Brain; Slice 117 of 155
FLAIR MRI.
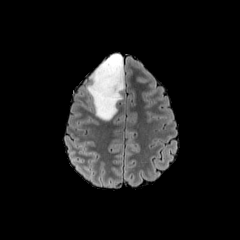
T1-weighted MRI.
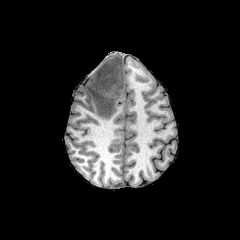
Post-contrast T1-weighted MR image.
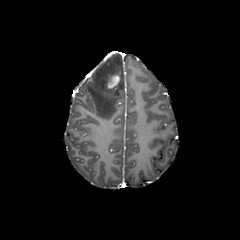
T2-weighted MR image.
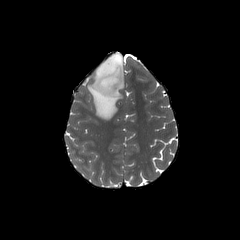
peritumoral_edema:
  - left=87, top=53, right=124, bottom=120
enhancing_tumor:
  - left=107, top=74, right=119, bottom=88